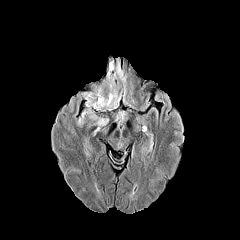
FLAIR MR image.
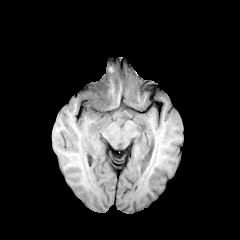
Same slice, T1-weighted MR image.
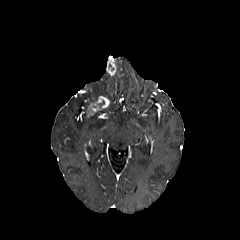
Post-contrast T1-weighted MRI.
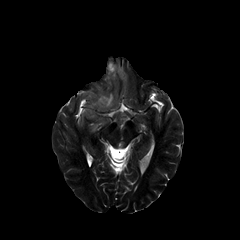
T2-weighted magnetic resonance of the same slice.
Axial slice
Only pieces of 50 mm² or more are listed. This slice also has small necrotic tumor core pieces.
enhancing tumor at bbox(107, 55, 116, 75); bbox(85, 96, 109, 117)
peritumoral edema at bbox(84, 92, 95, 106); bbox(96, 119, 107, 126); bbox(106, 92, 118, 109); bbox(107, 62, 126, 88)